Head. Slice 52/155. Image width 240 mm, 1.00 mm slice spacing. Axial slice.
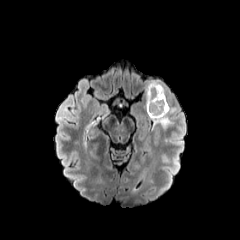
FLAIR MR.
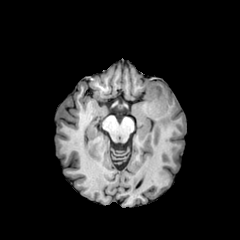
Same slice, T1-weighted magnetic resonance.
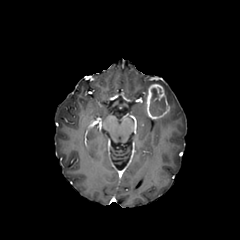
Post-contrast T1-weighted magnetic resonance.
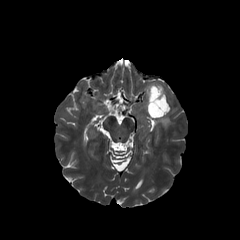
T2-weighted MR.
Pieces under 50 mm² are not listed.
Annotated regions:
- enhancing tumor: l=146, t=83, r=169, b=119
- peritumoral edema: l=145, t=80, r=166, b=107; l=153, t=107, r=175, b=127
- necrotic tumor core: l=149, t=88, r=165, b=115